Image width 240 mm, 1.00 mm slice spacing. 240x240 px.
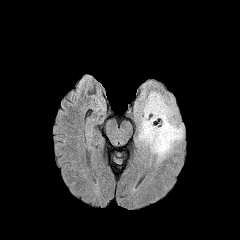
FLAIR magnetic resonance.
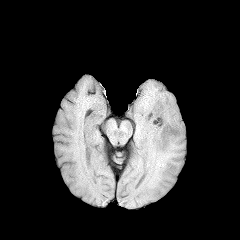
T1-weighted MR image of the same slice.
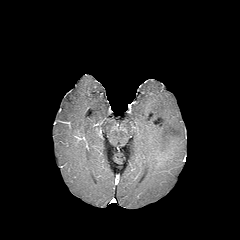
Post-contrast T1-weighted MR of the same slice.
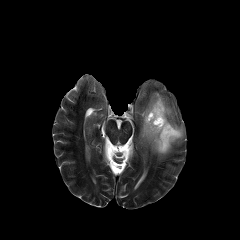
T2-weighted MRI.
peritumoral edema: bounding box (x1=136, y1=91, x2=184, y2=161)